Brain, Axial slice
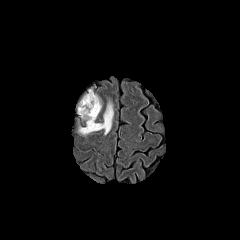
FLAIR MR image.
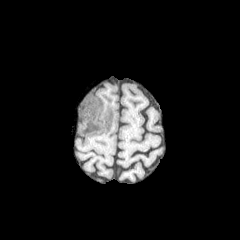
Same slice, T1-weighted magnetic resonance.
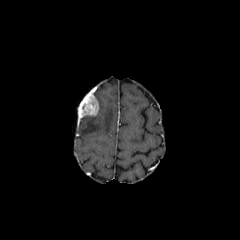
Post-contrast T1-weighted magnetic resonance.
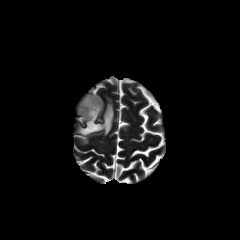
Same slice, T2-weighted MRI.
The enhancing tumor is at x1=78 y1=90 x2=99 y2=117. 2 peritumoral edema regions are located at x1=78 y1=101 x2=113 y2=135, x1=94 y1=94 x2=101 y2=112.